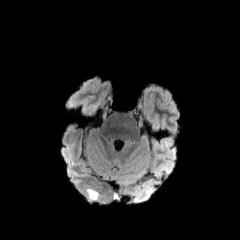
FLAIR MR.
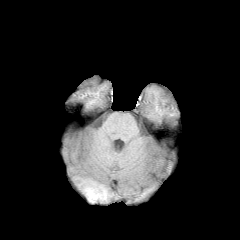
Same slice, T1-weighted magnetic resonance.
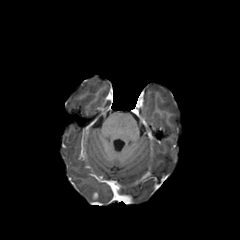
Post-contrast T1-weighted magnetic resonance of the same slice.
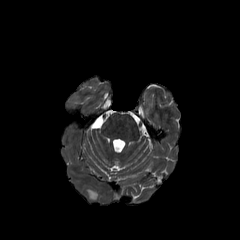
T2-weighted MRI of the same slice.
Brain
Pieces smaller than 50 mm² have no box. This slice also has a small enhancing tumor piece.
Findings:
- peritumoral edema: [x1=86, y1=188, x2=100, y2=201]